Head | Axial plane | 240x240
FLAIR magnetic resonance.
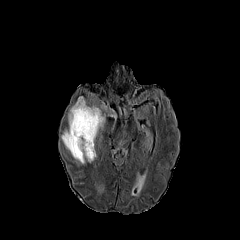
T1-weighted MRI.
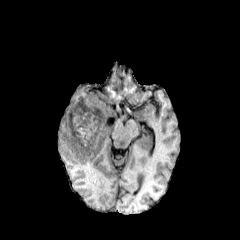
Post-contrast T1-weighted MRI.
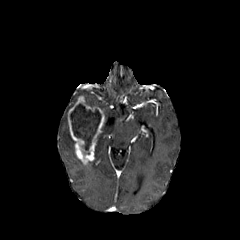
T2-weighted MRI.
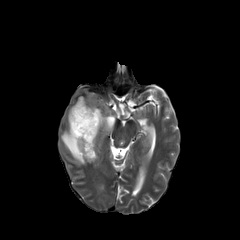
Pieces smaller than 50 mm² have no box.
<segmentation>
  <peritumoral_edema>(61, 128, 83, 164)</peritumoral_edema>
  <necrotic_tumor_core>(70, 103, 101, 150)</necrotic_tumor_core>
  <enhancing_tumor>(68, 96, 105, 164)</enhancing_tumor>
</segmentation>